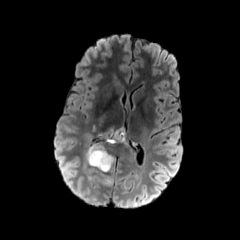
FLAIR MR image.
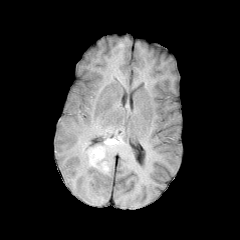
Same slice, T1-weighted MRI.
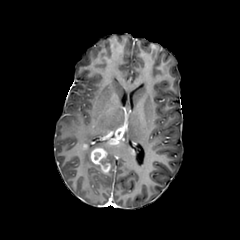
Same slice, post-contrast T1-weighted MRI.
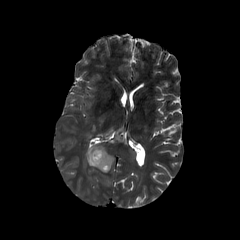
T2-weighted MRI.
Brain | 240x240
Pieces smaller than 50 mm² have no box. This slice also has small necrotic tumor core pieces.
Findings:
- peritumoral edema: box=[85, 133, 94, 140]; box=[106, 154, 115, 167]; box=[83, 141, 105, 183]
- enhancing tumor: box=[90, 147, 110, 172]; box=[104, 125, 125, 144]